Brain. Image width 240 mm.
FLAIR MR.
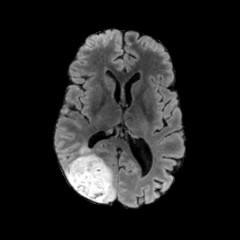
T1-weighted magnetic resonance.
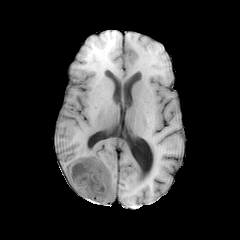
Post-contrast T1-weighted MR.
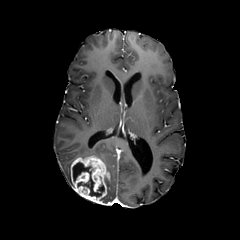
T2-weighted MR image.
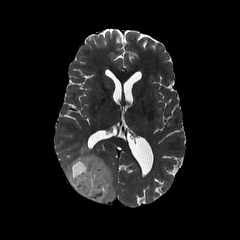
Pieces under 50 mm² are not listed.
<segmentation>
  <necrotic_tumor_core>left=73, top=162, right=104, bottom=197</necrotic_tumor_core>
  <enhancing_tumor>left=70, top=155, right=110, bottom=203</enhancing_tumor>
  <peritumoral_edema>left=63, top=158, right=76, bottom=184; left=102, top=164, right=115, bottom=203; left=78, top=144, right=96, bottom=157</peritumoral_edema>
</segmentation>